Slice 88/155. Image size 240x240.
FLAIR MRI.
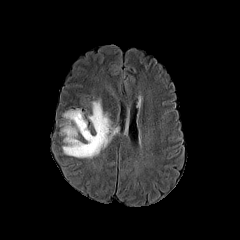
T1-weighted MRI.
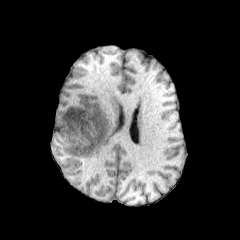
Post-contrast T1-weighted MR image.
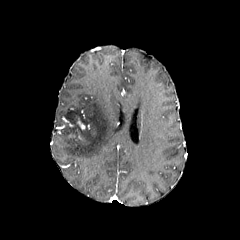
T2-weighted MR.
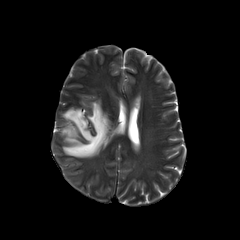
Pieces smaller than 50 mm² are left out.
enhancing tumor: bbox(77, 118, 85, 129) | peritumoral edema: bbox(62, 99, 117, 158)